Axial plane; Slice 98 of 155; 240x240 px
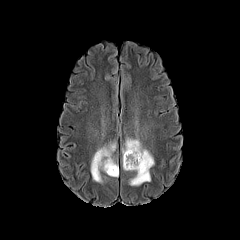
FLAIR MR.
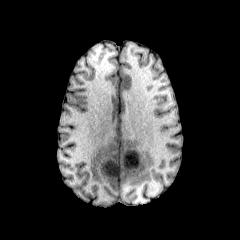
T1-weighted magnetic resonance of the same slice.
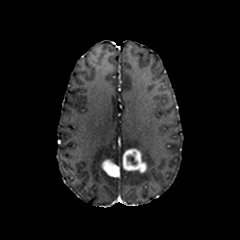
Same slice, post-contrast T1-weighted MR image.
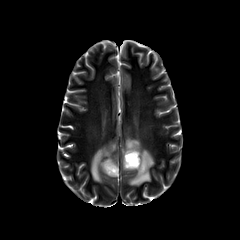
T2-weighted MR of the same slice.
Segmented structures:
* peritumoral edema: 121 136 154 185, 90 142 117 183
* enhancing tumor: 101 159 119 177, 122 148 146 173
* necrotic tumor core: 127 156 136 164